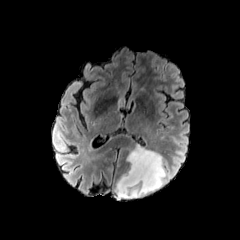
FLAIR magnetic resonance.
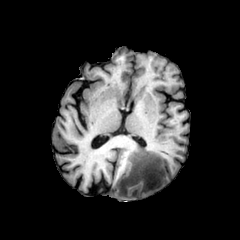
T1-weighted MR image.
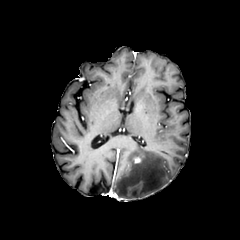
Same slice, post-contrast T1-weighted MR.
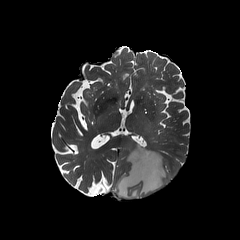
T2-weighted MRI.
Brain; Axial slice
peritumoral_edema:
  - rect(114, 144, 166, 198)
enhancing_tumor:
  - rect(133, 155, 143, 163)